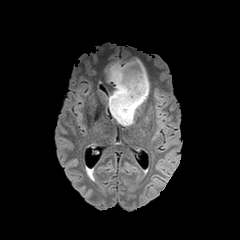
FLAIR MR.
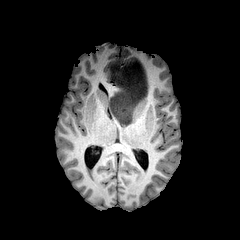
T1-weighted MRI.
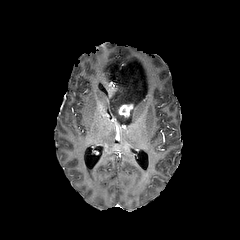
Post-contrast T1-weighted MRI.
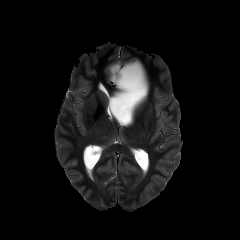
T2-weighted magnetic resonance.
Axial slice.
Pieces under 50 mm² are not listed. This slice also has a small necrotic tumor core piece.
<segmentation>
  <peritumoral_edema>(105, 58, 149, 126)</peritumoral_edema>
  <enhancing_tumor>(118, 104, 133, 117)</enhancing_tumor>
</segmentation>